Slice 96/155; Image size 240x240
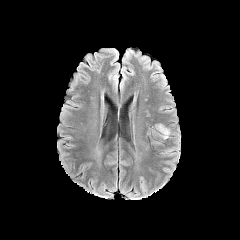
FLAIR MR.
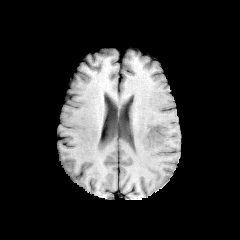
T1-weighted magnetic resonance.
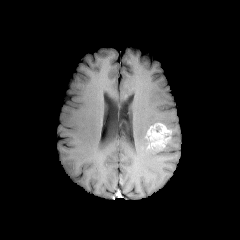
Post-contrast T1-weighted MRI.
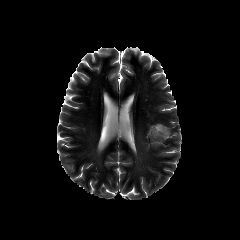
T2-weighted MR.
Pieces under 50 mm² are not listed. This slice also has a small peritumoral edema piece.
enhancing tumor: x1=147 y1=123 x2=170 y2=145